Brain, Slice 79 of 155
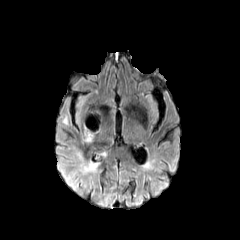
FLAIR MRI.
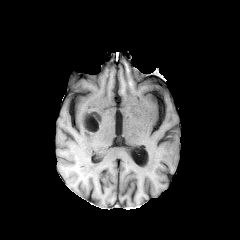
T1-weighted magnetic resonance of the same slice.
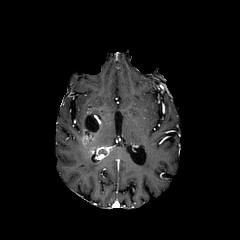
Post-contrast T1-weighted MRI.
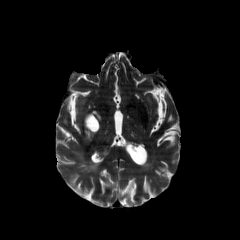
T2-weighted magnetic resonance.
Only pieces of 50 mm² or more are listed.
The enhancing tumor lies within <bbox>80, 112, 103, 154</bbox>. The necrotic tumor core lies within <bbox>85, 114, 99, 132</bbox>. The largest peritumoral edema region is at <bbox>76, 152, 99, 174</bbox>.